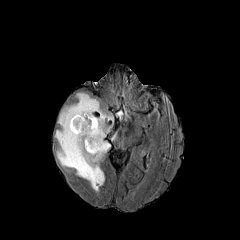
FLAIR magnetic resonance.
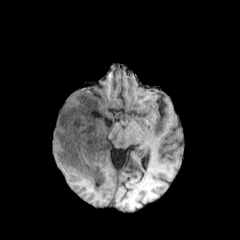
T1-weighted MRI.
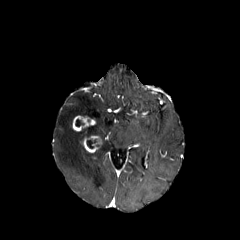
Same slice, post-contrast T1-weighted MRI.
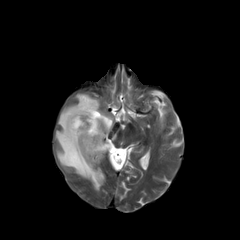
Same slice, T2-weighted MR image.
Axial plane; 240x240; Head
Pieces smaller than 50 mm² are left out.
The largest necrotic tumor core region is located at 87,139,96,148. 2 enhancing tumor regions are located at 81,135,102,152; 72,115,95,131. The largest peritumoral edema region is bounded by 55,93,114,191.